Image covers 240 mm x 240 mm | 240x240 | Axial slice
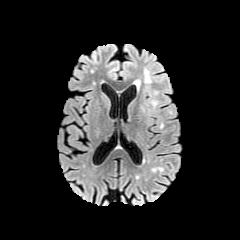
FLAIR MRI.
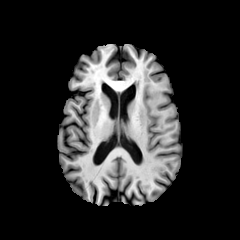
Same slice, T1-weighted MR.
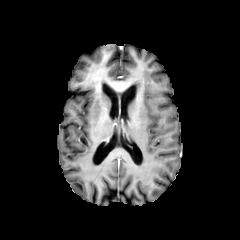
Same slice, post-contrast T1-weighted MR image.
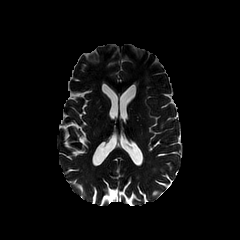
T2-weighted magnetic resonance of the same slice.
Segmented structures:
• peritumoral edema: 144 68 152 85